FLAIR MRI.
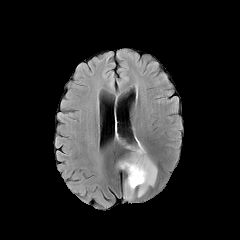
T1-weighted MRI.
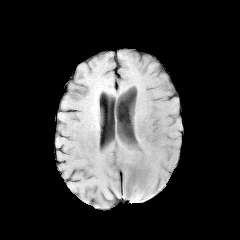
Post-contrast T1-weighted MRI.
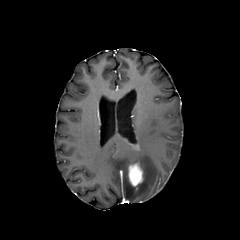
T2-weighted magnetic resonance.
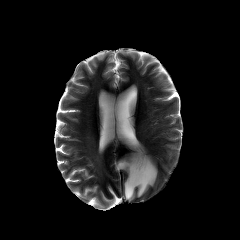
240x240, Brain
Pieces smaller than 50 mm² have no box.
{"enhancing_tumor": ["128, 162, 143, 186"], "peritumoral_edema": ["117, 140, 157, 200"]}